240x240 px.
FLAIR MR.
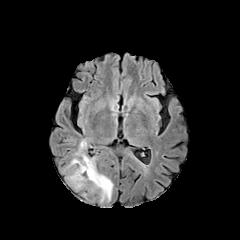
T1-weighted MR.
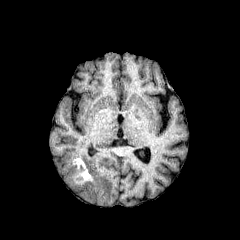
Post-contrast T1-weighted magnetic resonance.
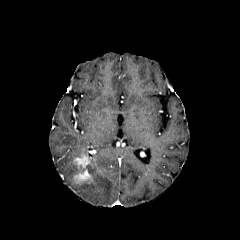
T2-weighted MRI.
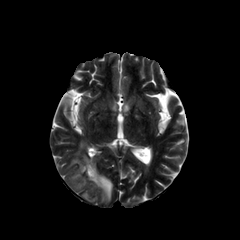
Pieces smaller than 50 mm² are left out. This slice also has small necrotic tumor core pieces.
{"enhancing_tumor": ["<bbox>74, 172, 89, 182</bbox>", "<bbox>80, 155, 95, 168</bbox>"], "peritumoral_edema": ["<bbox>87, 166, 112, 202</bbox>", "<bbox>76, 140, 86, 155</bbox>"]}